Brain, Slice 81/155
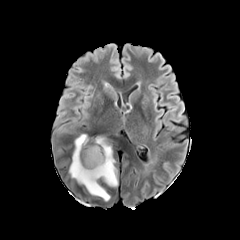
FLAIR magnetic resonance.
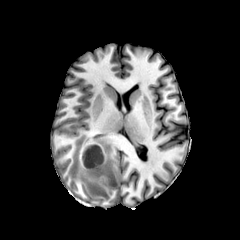
T1-weighted MR image.
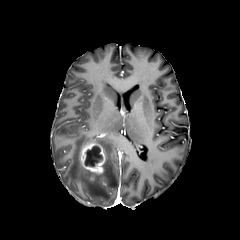
Post-contrast T1-weighted MR.
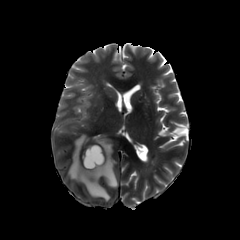
Same slice, T2-weighted MR image.
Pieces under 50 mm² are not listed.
* necrotic tumor core: 84,146,102,166
* enhancing tumor: 81,144,105,174
* peritumoral edema: 69,134,117,201